Axial plane, 240x240
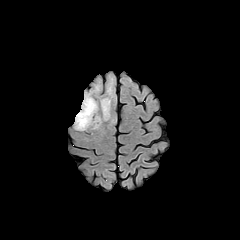
FLAIR MRI.
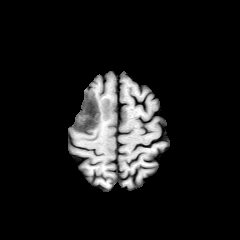
T1-weighted magnetic resonance.
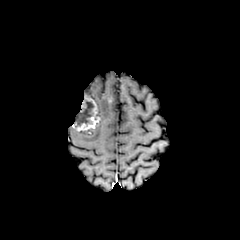
Post-contrast T1-weighted MR image of the same slice.
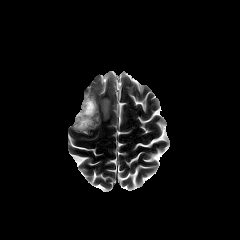
Same slice, T2-weighted MR.
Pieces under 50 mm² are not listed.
enhancing tumor: [73,95,100,131] | necrotic tumor core: [76,101,93,125] | peritumoral edema: [100,98,110,120]